Axial plane. Head. Slice 63/155. 240x240.
FLAIR MRI.
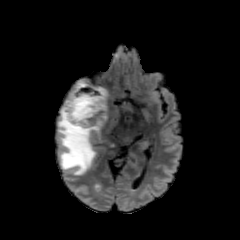
T1-weighted MR.
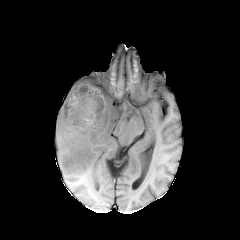
Post-contrast T1-weighted MRI.
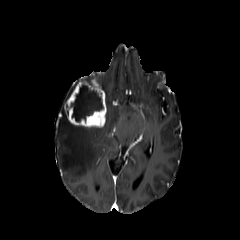
T2-weighted MRI.
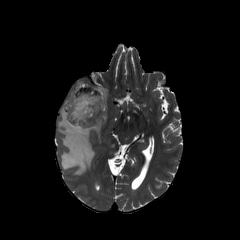
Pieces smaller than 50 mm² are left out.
The enhancing tumor appears at [64,80,106,127]. The necrotic tumor core is bounded by [71,85,103,121]. The largest peritumoral edema region is bounded by [58,87,120,175].